Head
FLAIR magnetic resonance.
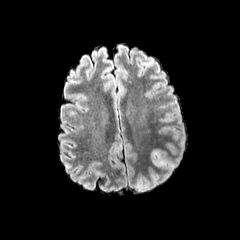
T1-weighted magnetic resonance.
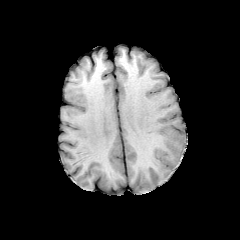
Post-contrast T1-weighted magnetic resonance.
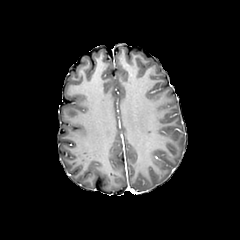
T2-weighted MR image.
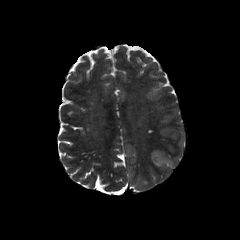
The peritumoral edema is located at [x1=151, y1=150, x2=175, y2=168].